FLAIR MR.
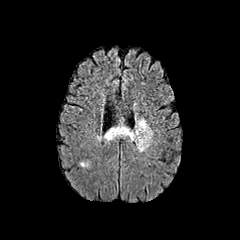
T1-weighted magnetic resonance.
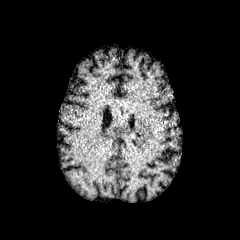
Post-contrast T1-weighted MRI.
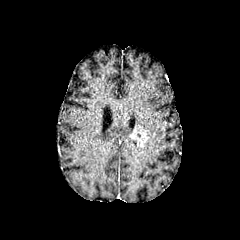
T2-weighted MR image.
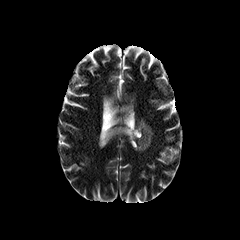
Brain. Axial plane.
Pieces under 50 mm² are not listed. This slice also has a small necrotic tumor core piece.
{
  "peritumoral_edema": [
    "[135,118,153,152]",
    "[97,123,132,141]"
  ],
  "enhancing_tumor": [
    "[130,126,148,147]"
  ]
}